FLAIR MR image.
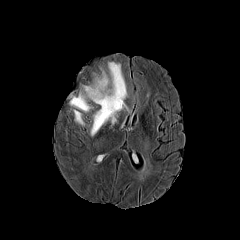
T1-weighted MRI.
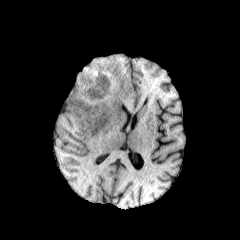
Post-contrast T1-weighted MR image.
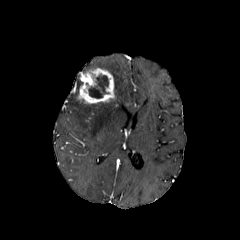
T2-weighted MRI.
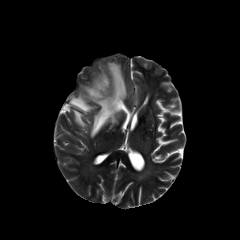
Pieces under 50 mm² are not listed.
{"necrotic_tumor_core": ["rect(88, 74, 108, 98)"], "enhancing_tumor": ["rect(77, 68, 115, 103)"], "peritumoral_edema": ["rect(90, 62, 127, 136)", "rect(69, 95, 92, 112)", "rect(73, 109, 85, 126)"]}